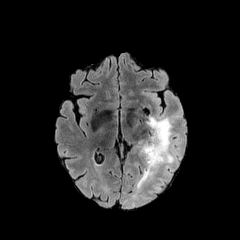
FLAIR magnetic resonance.
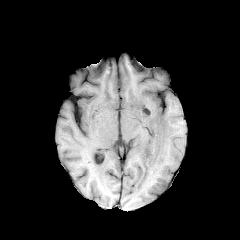
T1-weighted magnetic resonance.
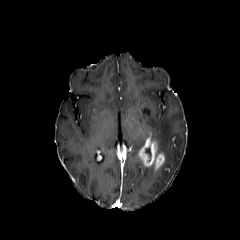
Post-contrast T1-weighted MR image.
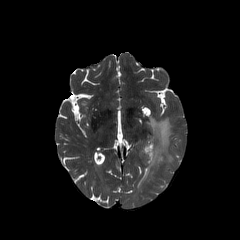
Same slice, T2-weighted magnetic resonance.
Head
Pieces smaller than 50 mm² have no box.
{"necrotic_tumor_core": ["(x1=145, y1=147, x2=151, y2=161)"], "peritumoral_edema": ["(x1=135, y1=116, x2=181, y2=191)"], "enhancing_tumor": ["(x1=138, y1=136, x2=165, y2=170)"]}